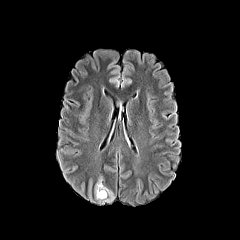
FLAIR MRI.
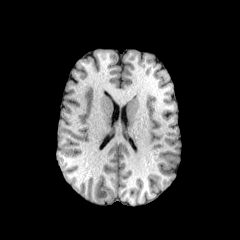
Same slice, T1-weighted magnetic resonance.
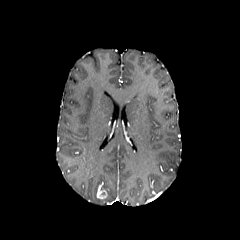
Post-contrast T1-weighted MR.
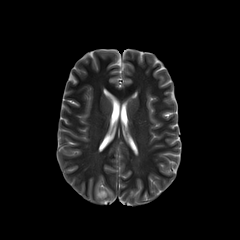
T2-weighted MR image of the same slice.
240x240 px | Axial slice | Brain
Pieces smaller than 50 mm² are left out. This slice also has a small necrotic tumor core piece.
peritumoral edema: bbox=[95, 177, 102, 194]; bbox=[96, 186, 114, 203] | enhancing tumor: bbox=[96, 186, 107, 199]